Brain. Axial slice. Slice 108/155.
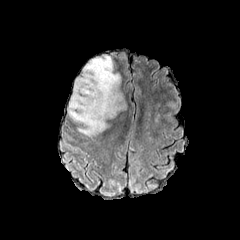
FLAIR magnetic resonance.
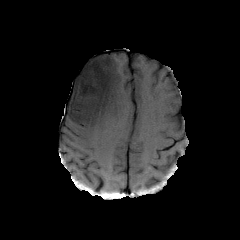
T1-weighted MR image.
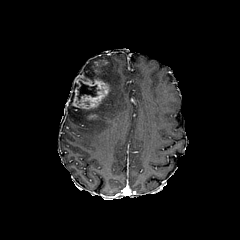
Same slice, post-contrast T1-weighted magnetic resonance.
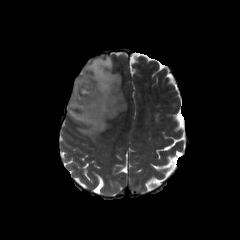
Same slice, T2-weighted MR.
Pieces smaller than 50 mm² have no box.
<segmentation>
  <enhancing_tumor>x1=93 y1=60 x2=107 y2=74, x1=86 y1=112 x2=97 y2=119, x1=71 y1=73 x2=109 y2=110</enhancing_tumor>
  <necrotic_tumor_core>x1=77 y1=81 x2=97 y2=99</necrotic_tumor_core>
  <peritumoral_edema>x1=67 y1=55 x2=127 y2=137</peritumoral_edema>
</segmentation>